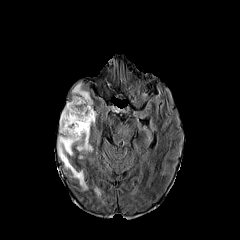
FLAIR MRI.
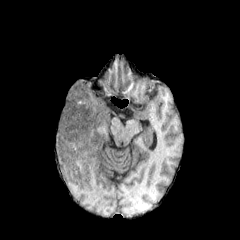
T1-weighted magnetic resonance.
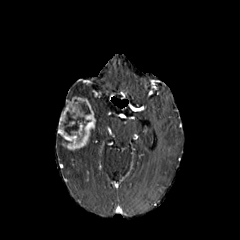
Same slice, post-contrast T1-weighted MR image.
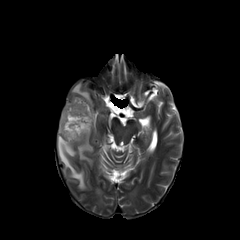
Same slice, T2-weighted MR.
240x240 px
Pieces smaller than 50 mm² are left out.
peritumoral_edema:
  - rect(57, 134, 86, 189)
  - rect(78, 143, 92, 158)
  - rect(72, 83, 93, 110)
necrotic_tumor_core:
  - rect(63, 112, 89, 135)
  - rect(78, 102, 90, 114)
enhancing_tumor:
  - rect(58, 96, 95, 150)